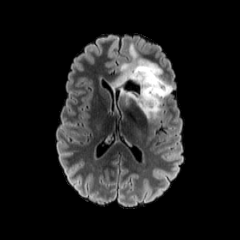
FLAIR magnetic resonance.
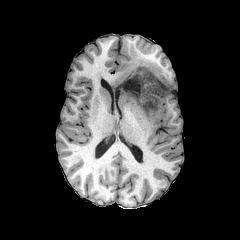
T1-weighted MR image of the same slice.
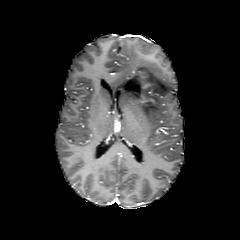
Post-contrast T1-weighted MR image of the same slice.
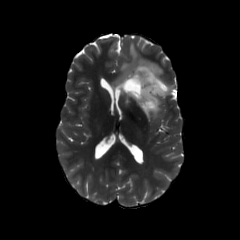
Same slice, T2-weighted MR image.
Axial plane
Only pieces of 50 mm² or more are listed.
The largest necrotic tumor core region is located at region(123, 80, 139, 92). The 2 largest enhancing tumor regions are bounded by region(138, 95, 155, 105); region(127, 70, 147, 79). The peritumoral edema appears at region(111, 44, 172, 119).